Brain, Axial view, Slice index 78
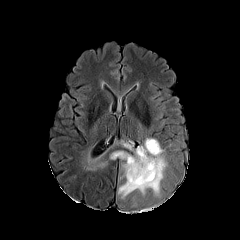
FLAIR MR image.
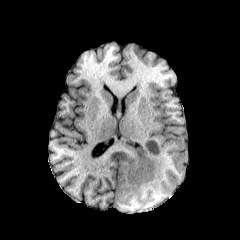
T1-weighted magnetic resonance.
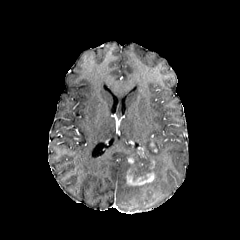
Post-contrast T1-weighted MRI.
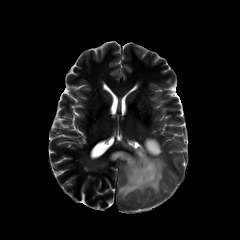
T2-weighted MR image of the same slice.
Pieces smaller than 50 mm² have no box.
enhancing tumor: {"x1": 138, "y1": 148, "x2": 144, "y2": 156}, {"x1": 126, "y1": 169, "x2": 154, "y2": 185}
necrotic tumor core: {"x1": 130, "y1": 160, "x2": 153, "y2": 179}
peritumoral edema: {"x1": 110, "y1": 138, "x2": 167, "y2": 198}